Head | 240x240 px
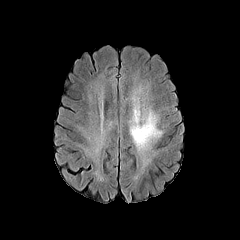
FLAIR MR.
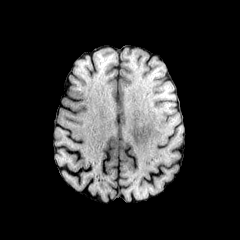
T1-weighted magnetic resonance.
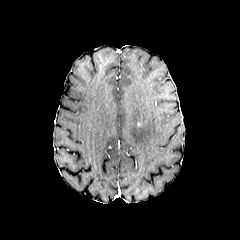
Post-contrast T1-weighted MR image of the same slice.
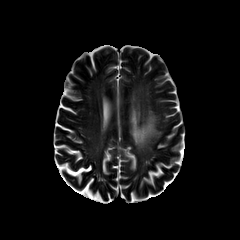
T2-weighted MR image of the same slice.
Findings:
- peritumoral edema: bbox(130, 95, 162, 151)